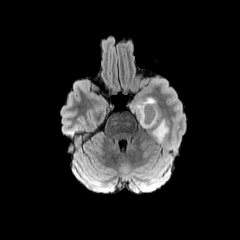
FLAIR MR.
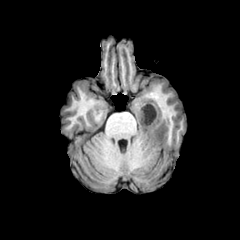
Same slice, T1-weighted MR image.
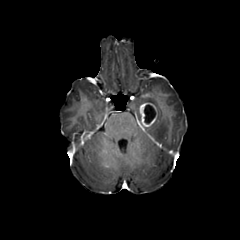
Same slice, post-contrast T1-weighted MR.
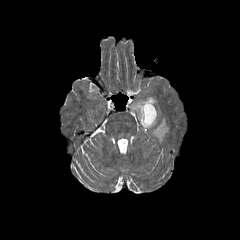
T2-weighted MRI.
240x240 px | Axial slice | Brain
necrotic tumor core: bounding box region(144, 104, 155, 123)
peritumoral edema: bounding box region(133, 97, 156, 122); region(144, 107, 168, 142)
enhancing tumor: bounding box region(139, 102, 157, 128)